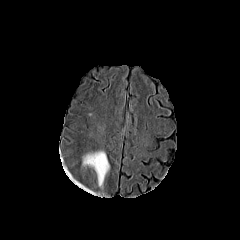
FLAIR MR image.
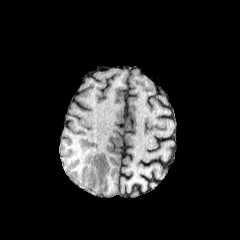
Same slice, T1-weighted MR.
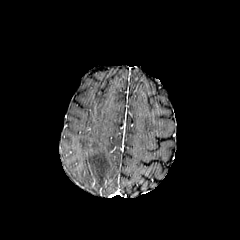
Post-contrast T1-weighted MR image.
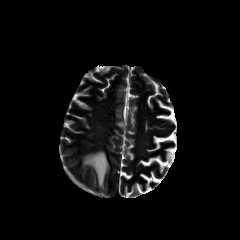
T2-weighted magnetic resonance.
Image size 240x240. Head.
peritumoral edema: (left=82, top=151, right=109, bottom=187)